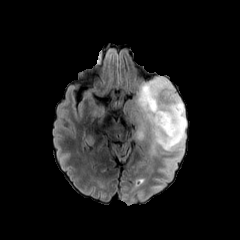
FLAIR MRI.
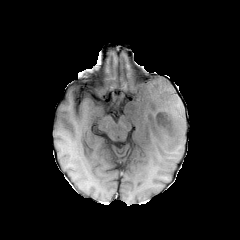
T1-weighted MR of the same slice.
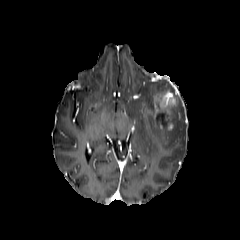
Post-contrast T1-weighted MR.
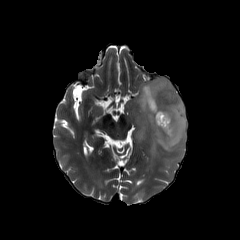
T2-weighted MR.
necrotic tumor core: x1=157 y1=112 x2=166 y2=125 | peritumoral edema: x1=130 y1=76 x2=186 y2=154 | enhancing tumor: x1=152 y1=90 x2=178 y2=129